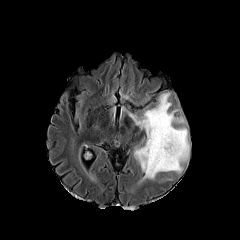
FLAIR MR.
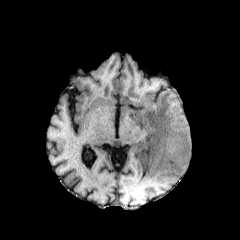
T1-weighted MR of the same slice.
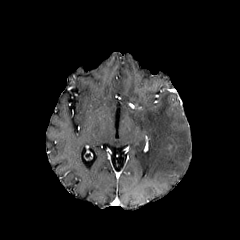
Post-contrast T1-weighted MR.
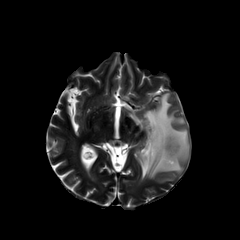
T2-weighted MRI.
Head; Axial slice; 240x240 px
peritumoral_edema:
  - <box>128,92,190,179</box>